FLAIR magnetic resonance.
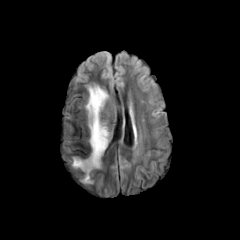
T1-weighted MR.
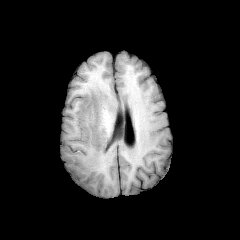
Post-contrast T1-weighted MRI.
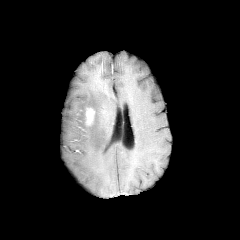
T2-weighted MR.
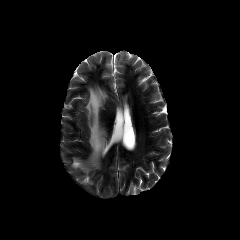
Head. Axial plane. 240x240 px.
peritumoral edema: x1=72, y1=86, x2=107, y2=183
enhancing tumor: x1=85, y1=108, x2=94, y2=125